FLAIR MR image.
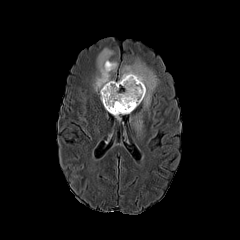
T1-weighted MRI.
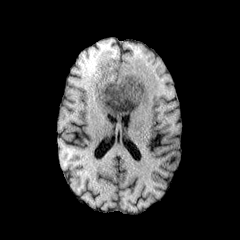
Post-contrast T1-weighted MRI.
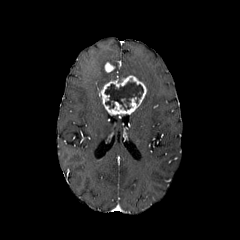
T2-weighted MR.
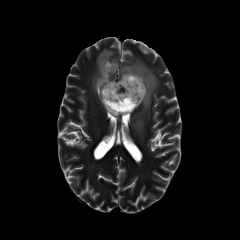
Axial view. Head.
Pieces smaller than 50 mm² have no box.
The 3 largest peritumoral edema regions are located at l=93, t=48, r=117, b=91; l=118, t=59, r=158, b=110; l=133, t=113, r=142, b=132. The 2 largest enhancing tumor regions are bounded by l=99, t=75, r=147, b=115; l=104, t=62, r=115, b=72. The necrotic tumor core appears at l=105, t=82, r=143, b=110.